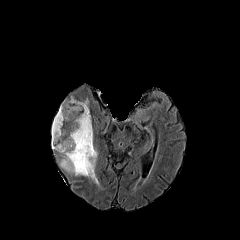
FLAIR MR image.
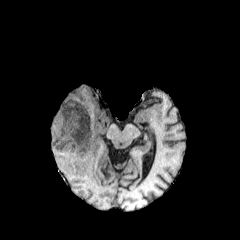
T1-weighted magnetic resonance of the same slice.
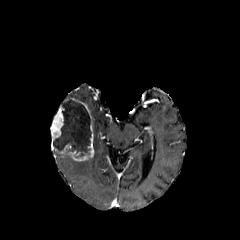
Same slice, post-contrast T1-weighted MRI.
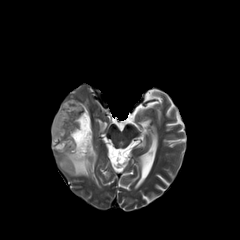
T2-weighted magnetic resonance.
Head
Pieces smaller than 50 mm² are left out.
The largest necrotic tumor core region is bounded by {"x1": 53, "y1": 98, "x2": 91, "y2": 156}. The 2 largest enhancing tumor regions are located at {"x1": 50, "y1": 105, "x2": 94, "y2": 161}, {"x1": 70, "y1": 98, "x2": 90, "y2": 117}. The largest peritumoral edema region is at {"x1": 60, "y1": 150, "x2": 98, "y2": 184}.